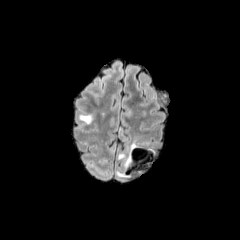
FLAIR magnetic resonance.
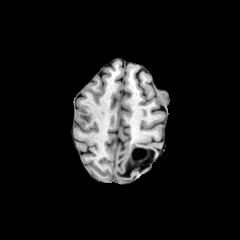
Same slice, T1-weighted MR image.
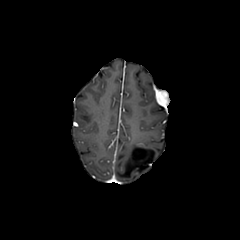
Post-contrast T1-weighted MRI.
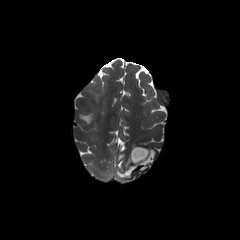
T2-weighted MRI.
Brain. Axial slice.
peritumoral edema — 79,114,92,123